240x240 px | Axial plane
FLAIR MR image.
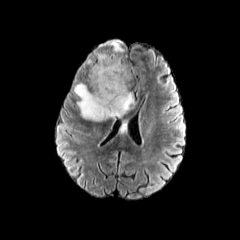
T1-weighted MR image.
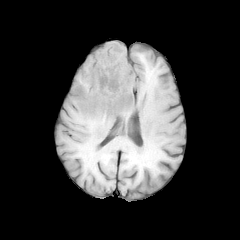
Post-contrast T1-weighted MR image.
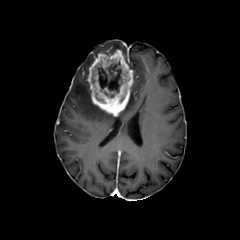
T2-weighted MR image.
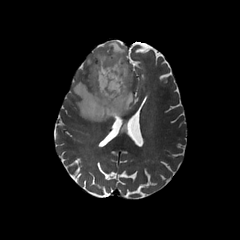
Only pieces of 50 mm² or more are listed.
<segmentation>
  <enhancing_tumor>{"x1": 86, "y1": 48, "x2": 133, "y2": 116}</enhancing_tumor>
  <necrotic_tumor_core>{"x1": 97, "y1": 58, "x2": 126, "y2": 97}, {"x1": 117, "y1": 86, "x2": 128, "y2": 103}, {"x1": 94, "y1": 91, "x2": 106, "y2": 103}</necrotic_tumor_core>
  <peritumoral_edema>{"x1": 73, "y1": 82, "x2": 136, "y2": 120}, {"x1": 86, "y1": 50, "x2": 106, "y2": 66}, {"x1": 98, "y1": 39, "x2": 124, "y2": 54}</peritumoral_edema>
</segmentation>